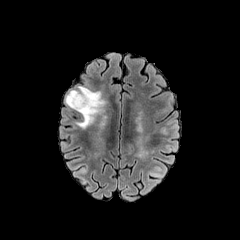
FLAIR magnetic resonance.
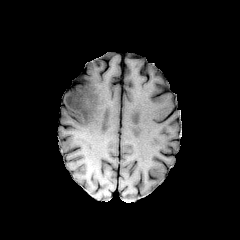
Same slice, T1-weighted MR image.
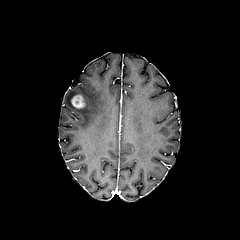
Same slice, post-contrast T1-weighted MR image.
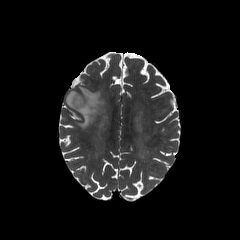
T2-weighted magnetic resonance.
Image size 240x240; Head
{
  "enhancing_tumor": [
    "[70, 94, 85, 108]"
  ],
  "peritumoral_edema": [
    "[65, 86, 105, 128]"
  ]
}